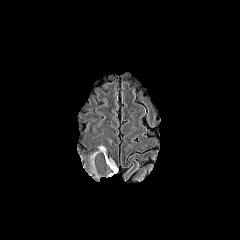
FLAIR MR.
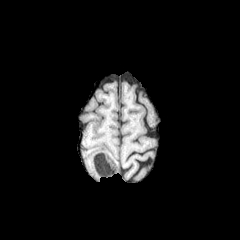
T1-weighted MR.
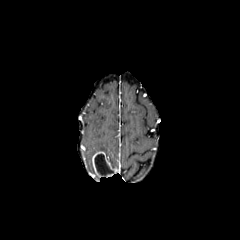
Post-contrast T1-weighted magnetic resonance.
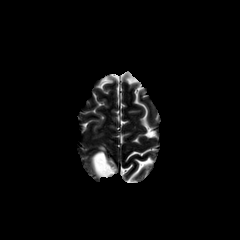
T2-weighted magnetic resonance of the same slice.
Head; Axial slice; 240x240 px
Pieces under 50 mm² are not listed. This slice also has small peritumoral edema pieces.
necrotic tumor core at (94, 154, 113, 176)
enhancing tumor at (91, 151, 117, 179)